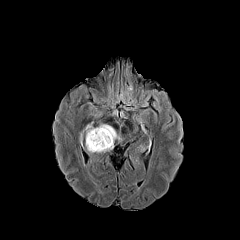
FLAIR magnetic resonance.
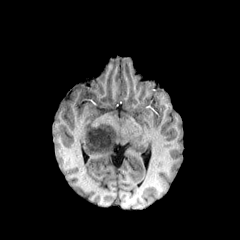
T1-weighted MRI.
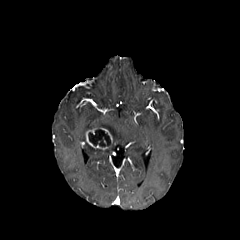
Post-contrast T1-weighted MR image of the same slice.
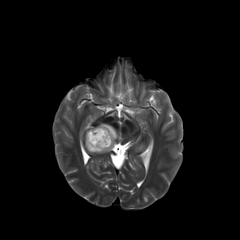
T2-weighted MRI of the same slice.
Brain. Axial slice.
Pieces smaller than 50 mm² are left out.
peritumoral edema: rect(85, 124, 120, 152); rect(80, 125, 92, 139)
necrotic tumor core: rect(88, 129, 110, 147)
enhancing tumor: rect(86, 127, 112, 150)